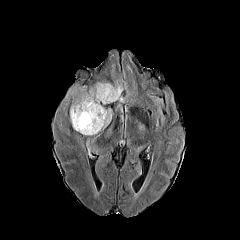
FLAIR MR.
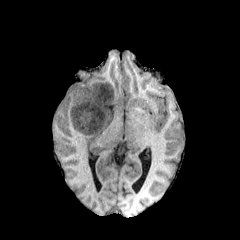
T1-weighted MR image of the same slice.
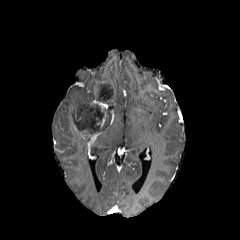
Post-contrast T1-weighted MR image.
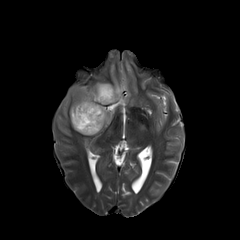
Same slice, T2-weighted MRI.
Axial view; Brain
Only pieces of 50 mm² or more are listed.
necrotic tumor core: bbox(71, 102, 103, 134); bbox(91, 85, 117, 103)
peritumoral edema: bbox(96, 83, 127, 105); bbox(70, 87, 93, 127); bbox(102, 109, 111, 128); bbox(66, 87, 77, 100)
enhancing tumor: bbox(90, 99, 107, 127)